FLAIR MRI.
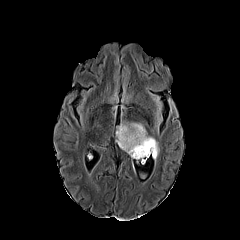
T1-weighted MRI.
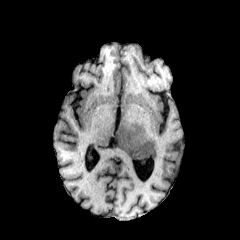
Post-contrast T1-weighted MR.
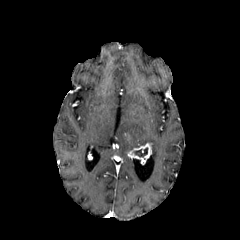
T2-weighted MRI.
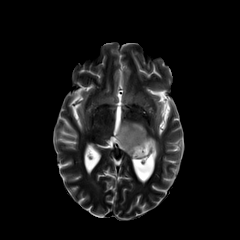
Brain, 240x240 px, Axial slice
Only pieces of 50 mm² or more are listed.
necrotic_tumor_core:
  - (134, 147, 147, 156)
peritumoral_edema:
  - (116, 123, 158, 158)
enhancing_tumor:
  - (127, 142, 151, 159)